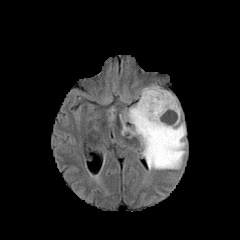
FLAIR MR image.
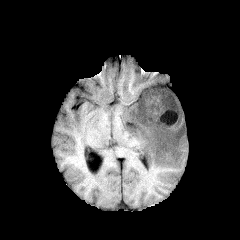
T1-weighted MR.
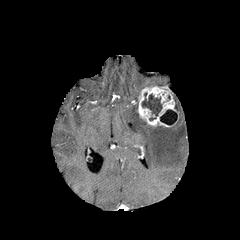
Post-contrast T1-weighted MRI of the same slice.
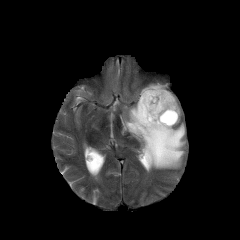
Same slice, T2-weighted magnetic resonance.
Axial slice | 240x240 px | Brain
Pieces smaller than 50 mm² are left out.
The largest peritumoral edema region lies within <bbox>122, 96, 186, 169</bbox>. The enhancing tumor is located at <bbox>137, 86, 179, 127</bbox>. The 2 largest necrotic tumor core regions appear at <bbox>160, 109, 177, 125</bbox>, <bbox>142, 92, 162, 116</bbox>.